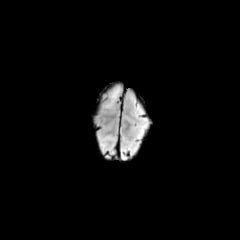
FLAIR MR.
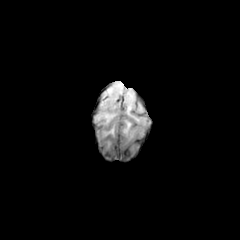
T1-weighted MRI of the same slice.
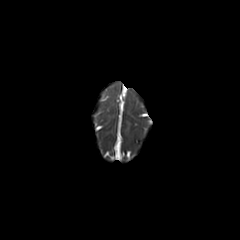
Post-contrast T1-weighted MR image.
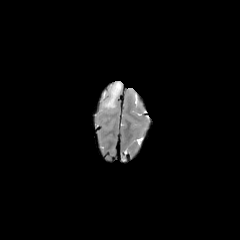
T2-weighted MRI.
Axial plane.
{
  "peritumoral_edema": [
    "<bbox>105, 87, 119, 108</bbox>"
  ]
}